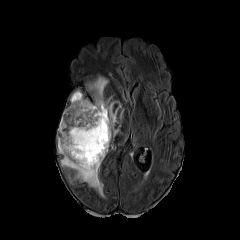
FLAIR MR.
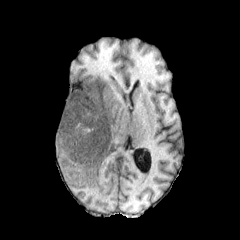
T1-weighted MRI.
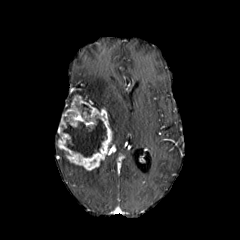
Same slice, post-contrast T1-weighted MRI.
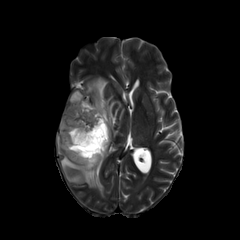
T2-weighted MR.
Head; Axial slice
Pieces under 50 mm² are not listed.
enhancing tumor: 57 94 112 170 | necrotic tumor core: 63 118 106 157, 81 104 90 114 | peritumoral edema: 86 76 121 137, 57 148 104 197, 70 90 83 101